240x240 px | Slice 78 of 155 | Axial view
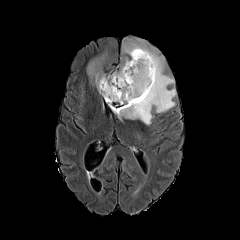
FLAIR magnetic resonance.
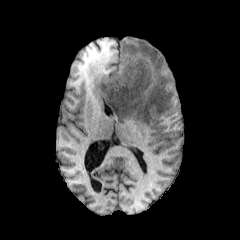
Same slice, T1-weighted MR image.
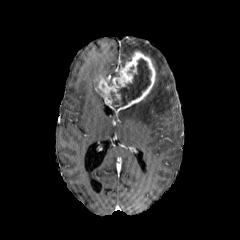
Post-contrast T1-weighted MR image of the same slice.
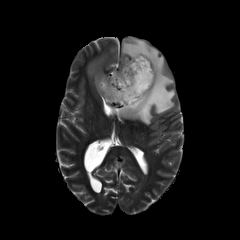
T2-weighted MR image.
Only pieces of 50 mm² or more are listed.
The largest necrotic tumor core region lies within bbox=[110, 58, 151, 110]. The 2 largest peritumoral edema regions are bounded by bbox=[85, 48, 108, 95]; bbox=[118, 36, 176, 125]. The largest enhancing tumor region appears at bbox=[97, 50, 155, 113].